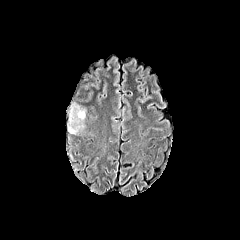
FLAIR magnetic resonance.
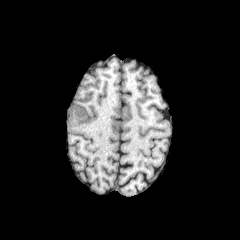
T1-weighted magnetic resonance.
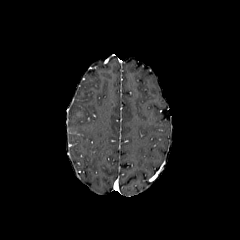
Post-contrast T1-weighted magnetic resonance.
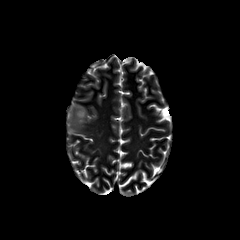
T2-weighted MRI.
Axial plane; 240x240
The peritumoral edema appears at x1=69, y1=104, x2=85, y2=133.